FLAIR MR image.
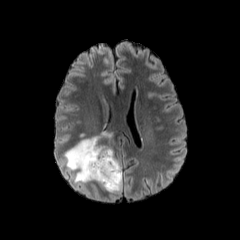
T1-weighted MR.
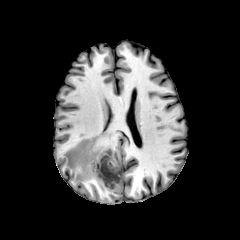
Post-contrast T1-weighted magnetic resonance.
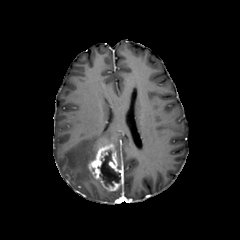
T2-weighted magnetic resonance.
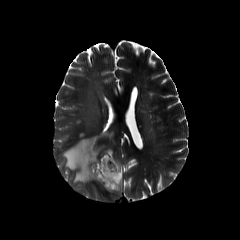
Axial slice, Brain
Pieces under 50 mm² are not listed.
peritumoral_edema:
  - (left=64, top=132, right=111, bottom=186)
enhancing_tumor:
  - (left=88, top=143, right=122, bottom=190)
necrotic_tumor_core:
  - (left=98, top=150, right=120, bottom=186)